Image covers 240 mm x 240 mm, Image size 240x240, Axial plane, Head
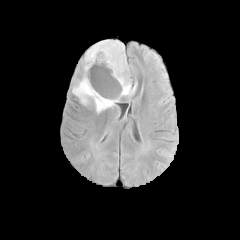
FLAIR MR.
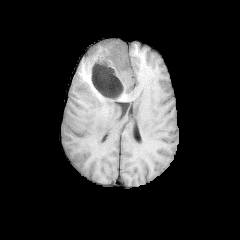
T1-weighted MR.
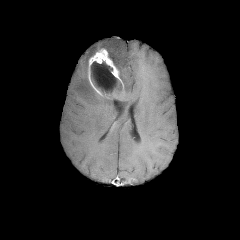
Post-contrast T1-weighted magnetic resonance of the same slice.
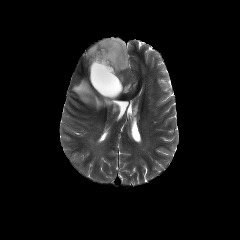
T2-weighted magnetic resonance of the same slice.
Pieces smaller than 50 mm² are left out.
enhancing tumor — (87, 48, 125, 98)
peritumoral edema — (71, 78, 120, 115), (86, 40, 135, 94)
necrotic tumor core — (91, 61, 121, 94)